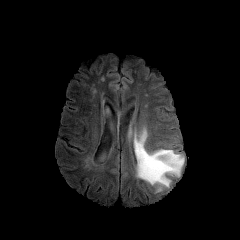
FLAIR MR.
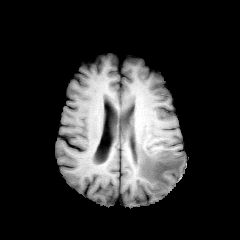
T1-weighted MRI.
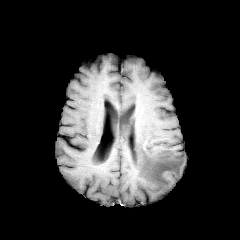
Post-contrast T1-weighted MR of the same slice.
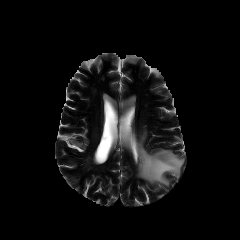
Same slice, T2-weighted MRI.
Axial slice. 240x240.
{"peritumoral_edema": ["bbox(134, 130, 184, 190)"]}